Image covers 240 mm x 240 mm. Axial view. Slice index 64.
FLAIR MR image.
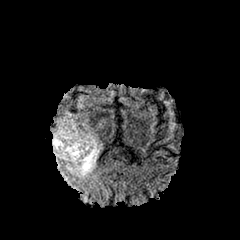
T1-weighted magnetic resonance.
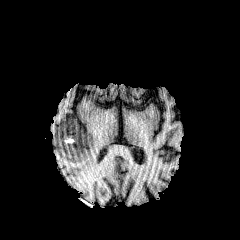
Post-contrast T1-weighted magnetic resonance.
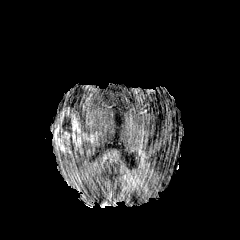
T2-weighted MR image.
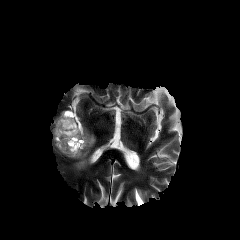
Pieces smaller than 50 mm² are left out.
The enhancing tumor is at region(53, 111, 95, 156). The 2 largest necrotic tumor core regions are bounded by region(69, 136, 74, 150); region(62, 121, 72, 132). The largest peritumoral edema region is at region(52, 136, 101, 176).